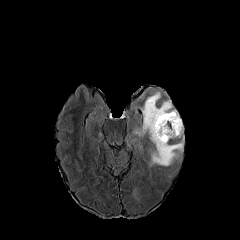
FLAIR MR.
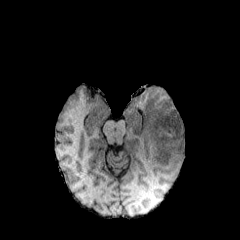
T1-weighted MR.
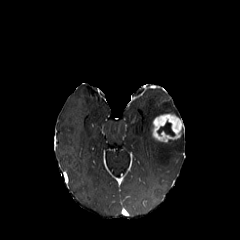
Post-contrast T1-weighted MR image.
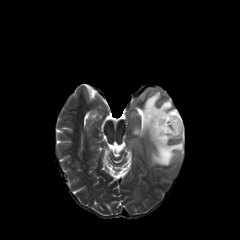
Same slice, T2-weighted MRI.
Segmented structures:
- enhancing tumor: l=151, t=113, r=183, b=142
- peritumoral edema: l=133, t=91, r=184, b=165
- necrotic tumor core: l=157, t=121, r=174, b=136